Slice 44 of 155
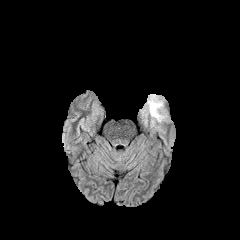
FLAIR MRI.
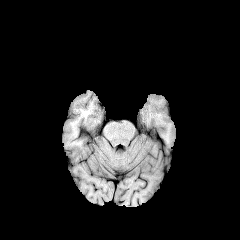
T1-weighted MR of the same slice.
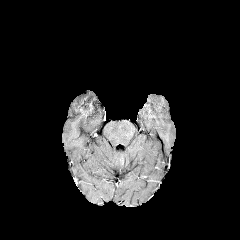
Same slice, post-contrast T1-weighted magnetic resonance.
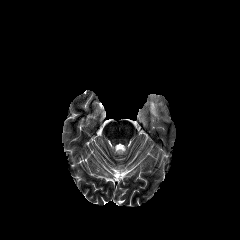
T2-weighted MR.
peritumoral edema at bbox=[143, 94, 166, 124]